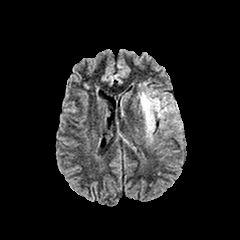
FLAIR MRI.
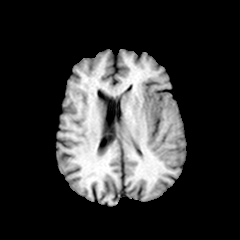
T1-weighted MRI of the same slice.
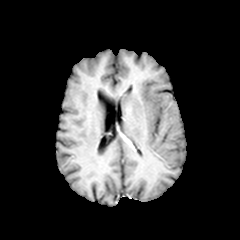
Same slice, post-contrast T1-weighted MRI.
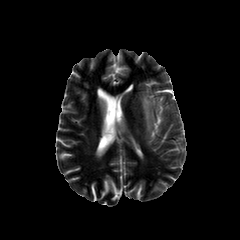
Same slice, T2-weighted MR image.
Axial view | 240x240 px
The peritumoral edema is located at box(138, 90, 174, 140).